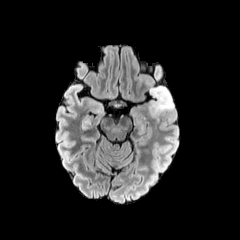
FLAIR MR.
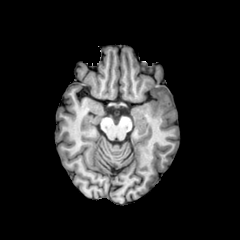
T1-weighted MR image.
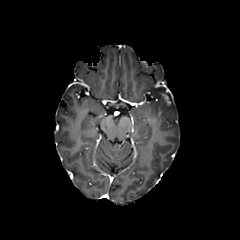
Post-contrast T1-weighted MR image.
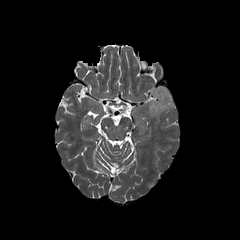
Same slice, T2-weighted magnetic resonance.
Axial slice
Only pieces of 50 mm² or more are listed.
Segmented structures:
- enhancing tumor: x1=159 y1=89 x2=172 y2=107
- peritumoral edema: x1=148 y1=86 x2=174 y2=119